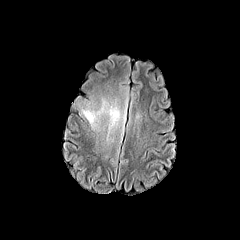
FLAIR magnetic resonance.
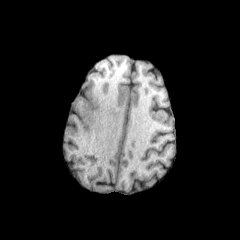
T1-weighted magnetic resonance.
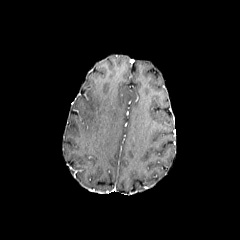
Post-contrast T1-weighted MR image.
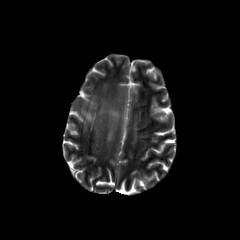
T2-weighted magnetic resonance.
Axial view
peritumoral_edema:
  - x1=81 y1=100 x2=125 y2=129